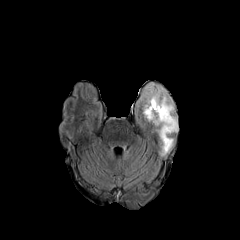
FLAIR MR.
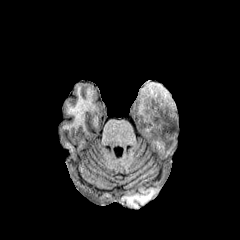
T1-weighted MR.
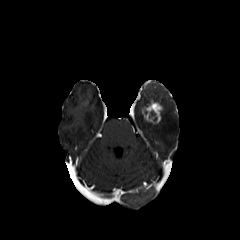
Post-contrast T1-weighted MRI.
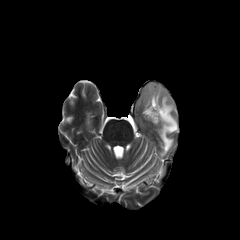
T2-weighted magnetic resonance.
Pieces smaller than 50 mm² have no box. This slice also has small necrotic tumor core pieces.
peritumoral edema — (left=139, top=83, right=178, bottom=155)
enhancing tumor — (left=142, top=99, right=162, bottom=124)